Axial view | Image size 240x240 | Slice 54/155 | Head
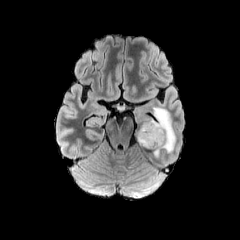
FLAIR MR image.
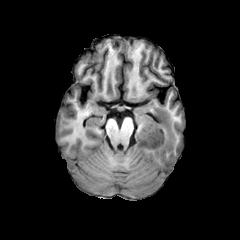
T1-weighted MRI.
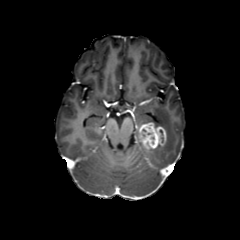
Same slice, post-contrast T1-weighted MR.
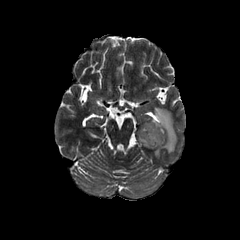
T2-weighted magnetic resonance.
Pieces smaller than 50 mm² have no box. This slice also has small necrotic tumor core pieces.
The enhancing tumor appears at box(138, 122, 166, 148). 2 peritumoral edema regions appear at box(143, 107, 176, 157); box(135, 124, 142, 145).